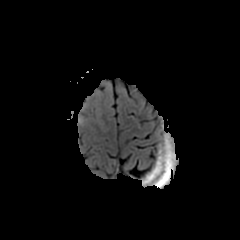
FLAIR magnetic resonance.
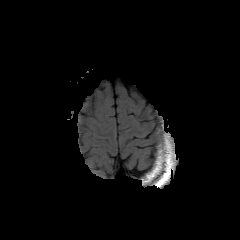
T1-weighted MR of the same slice.
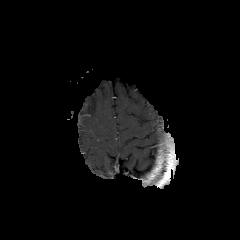
Same slice, post-contrast T1-weighted MR.
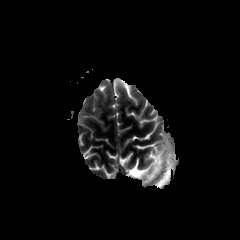
T2-weighted magnetic resonance.
Head, Axial slice
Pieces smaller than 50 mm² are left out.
The largest peritumoral edema region is bounded by box=[77, 114, 86, 125].